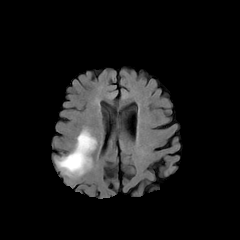
FLAIR MRI.
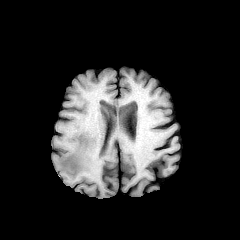
T1-weighted MRI.
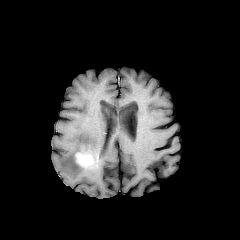
Post-contrast T1-weighted MR image.
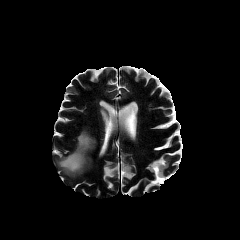
T2-weighted magnetic resonance.
240x240. Axial slice.
The peritumoral edema is bounded by (left=56, top=129, right=96, bottom=177). The enhancing tumor is at (left=76, top=153, right=92, bottom=167).